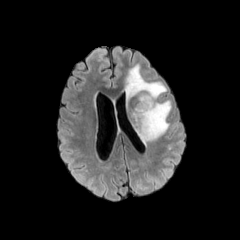
FLAIR MR.
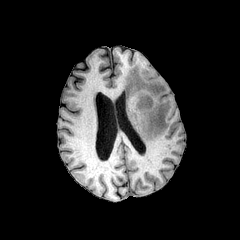
Same slice, T1-weighted magnetic resonance.
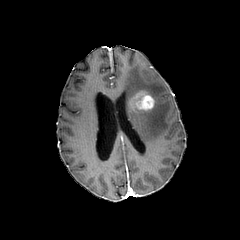
Same slice, post-contrast T1-weighted magnetic resonance.
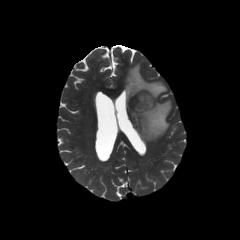
T2-weighted MR.
Head.
peritumoral edema: l=132, t=100, r=170, b=144; l=125, t=64, r=166, b=102
enhancing tumor: l=135, t=91, r=154, b=110